Image size 240x240, Brain
FLAIR magnetic resonance.
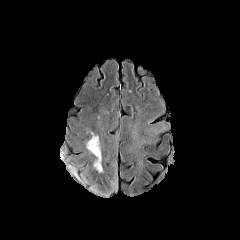
T1-weighted MR.
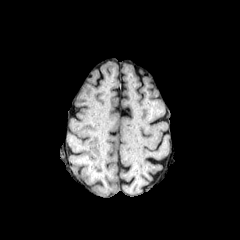
Post-contrast T1-weighted MR.
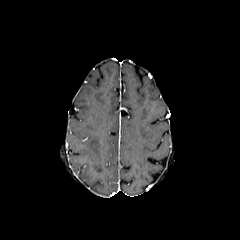
T2-weighted MR.
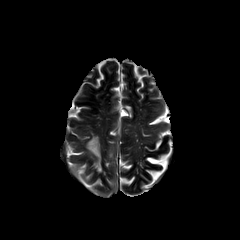
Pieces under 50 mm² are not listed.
peritumoral edema: bounding box 87 133 101 171